Head
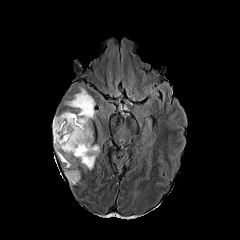
FLAIR magnetic resonance.
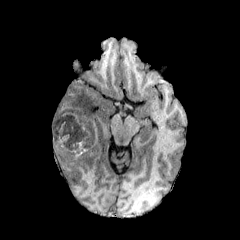
T1-weighted MRI.
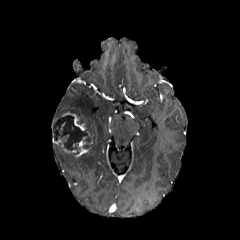
Same slice, post-contrast T1-weighted MR.
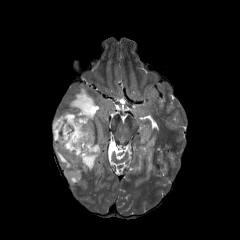
T2-weighted MRI of the same slice.
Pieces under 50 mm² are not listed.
<segmentation>
  <necrotic_tumor_core><bbox>54, 115, 91, 154</bbox></necrotic_tumor_core>
  <enhancing_tumor><bbox>75, 140, 90, 156</bbox>, <bbox>61, 112, 85, 130</bbox>, <bbox>61, 144, 76, 153</bbox></enhancing_tumor>
  <peritumoral_edema><bbox>79, 144, 99, 169</bbox>, <bbox>54, 143, 71, 168</bbox>, <bbox>145, 87, 158, 98</bbox>, <bbox>65, 153, 76, 167</bbox>, <bbox>65, 169, 80, 183</bbox>, <bbox>66, 87, 94, 140</bbox></peritumoral_edema>
</segmentation>